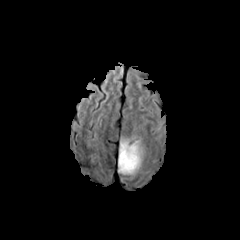
FLAIR MR.
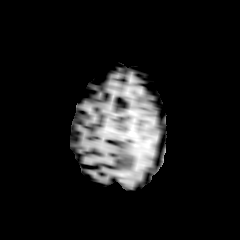
Same slice, T1-weighted MR image.
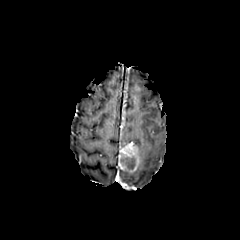
Post-contrast T1-weighted MR image.
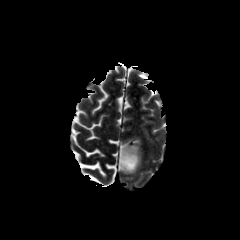
T2-weighted MR image of the same slice.
Axial plane
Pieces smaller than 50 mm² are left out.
{
  "peritumoral_edema": [
    "region(119, 140, 143, 174)"
  ],
  "necrotic_tumor_core": [
    "region(121, 156, 135, 167)"
  ],
  "enhancing_tumor": [
    "region(118, 142, 139, 173)"
  ]
}